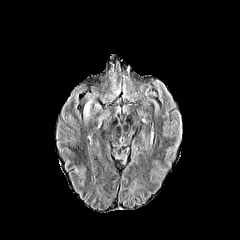
FLAIR MR image.
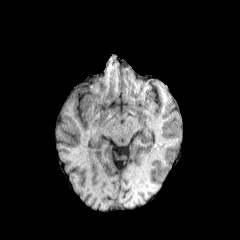
T1-weighted magnetic resonance.
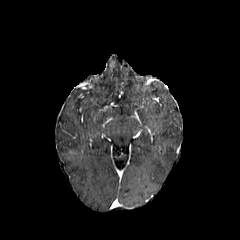
Same slice, post-contrast T1-weighted MR image.
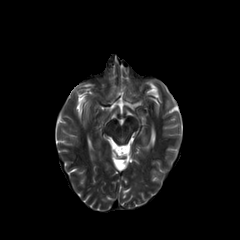
T2-weighted MR image of the same slice.
Brain
The peritumoral edema lies within <box>85,101,91,116</box>.